FLAIR MR.
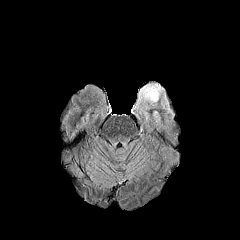
T1-weighted MRI.
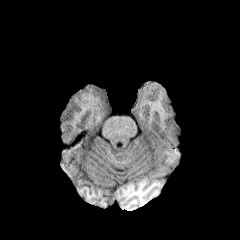
Post-contrast T1-weighted magnetic resonance.
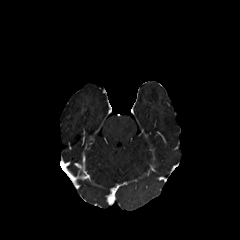
T2-weighted MRI.
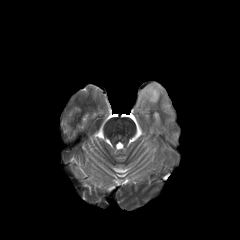
240x240
Findings:
- peritumoral edema: [153,111,160,122], [135,83,170,121]